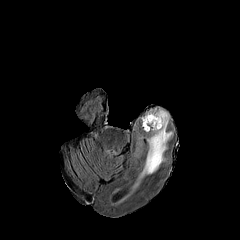
FLAIR MR image.
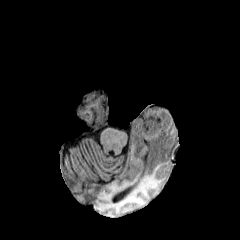
T1-weighted MR image.
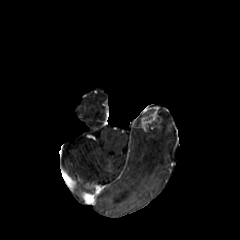
Same slice, post-contrast T1-weighted MR image.
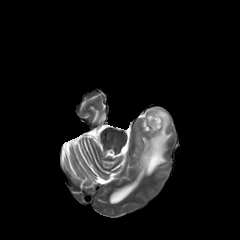
Same slice, T2-weighted MR image.
Image size 240x240; Brain
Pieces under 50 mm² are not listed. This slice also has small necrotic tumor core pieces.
peritumoral_edema:
  - left=140, top=109, right=172, bottom=177
enhancing_tumor:
  - left=141, top=110, right=161, bottom=131